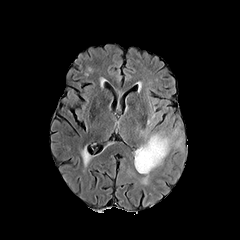
FLAIR MR image.
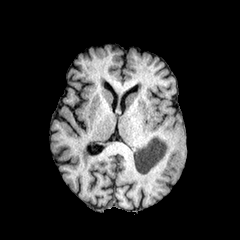
Same slice, T1-weighted MRI.
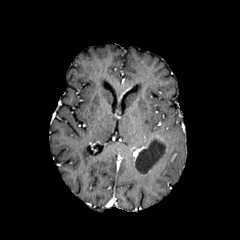
Post-contrast T1-weighted MRI of the same slice.
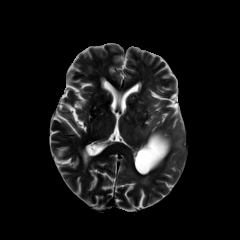
Same slice, T2-weighted MR image.
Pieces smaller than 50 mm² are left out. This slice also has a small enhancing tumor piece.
necrotic_tumor_core:
  - box(135, 138, 167, 172)
peritumoral_edema:
  - box(134, 132, 171, 174)